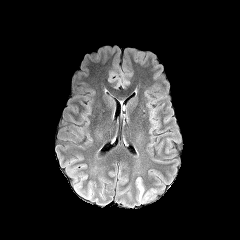
FLAIR MRI.
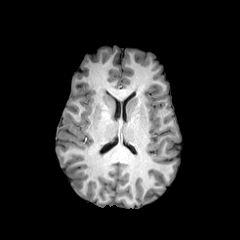
Same slice, T1-weighted MR image.
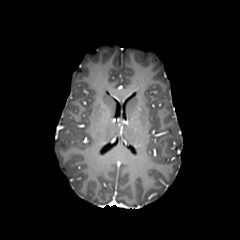
Post-contrast T1-weighted magnetic resonance.
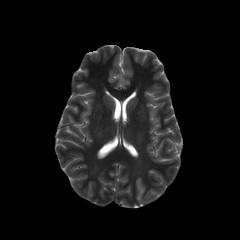
Same slice, T2-weighted magnetic resonance.
Axial plane; 240x240 px
The peritumoral edema is at 135 177 145 203.